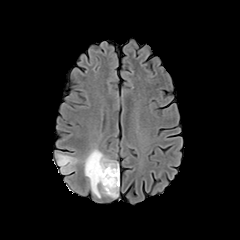
FLAIR MRI.
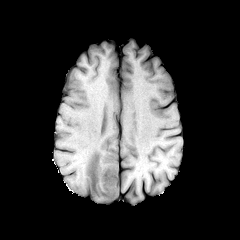
T1-weighted magnetic resonance.
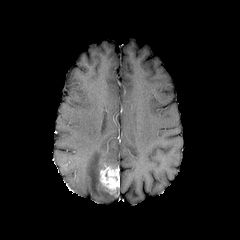
Post-contrast T1-weighted MR.
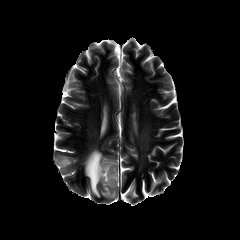
T2-weighted MR of the same slice.
Brain. Axial view. Image size 240x240.
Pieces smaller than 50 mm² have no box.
The enhancing tumor is bounded by (left=99, top=165, right=117, bottom=195). The 2 largest peritumoral edema regions are bounded by (left=57, top=154, right=77, bottom=173), (left=84, top=149, right=117, bottom=198).